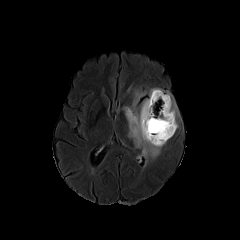
FLAIR MRI.
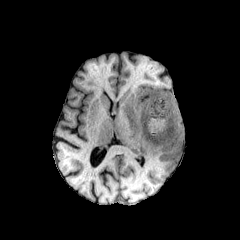
Same slice, T1-weighted magnetic resonance.
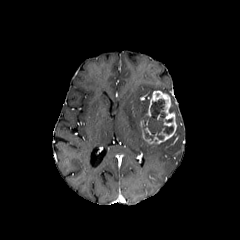
Post-contrast T1-weighted MRI of the same slice.
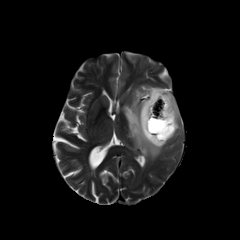
T2-weighted MR image of the same slice.
Brain
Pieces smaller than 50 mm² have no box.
<segmentation>
  <enhancing_tumor>140, 90, 177, 144</enhancing_tumor>
  <necrotic_tumor_core>143, 99, 173, 140</necrotic_tumor_core>
  <peritumoral_edema>149, 88, 179, 128; 123, 89, 166, 161</peritumoral_edema>
</segmentation>